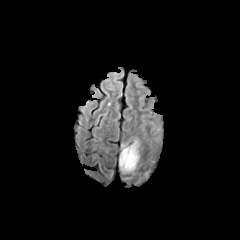
FLAIR magnetic resonance.
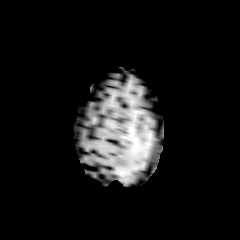
T1-weighted MRI.
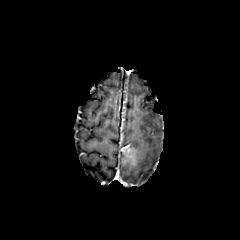
Post-contrast T1-weighted MR.
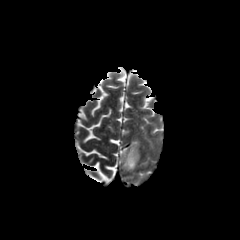
Same slice, T2-weighted MRI.
240x240 px; Axial view
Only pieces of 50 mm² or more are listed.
The 2 largest peritumoral edema regions appear at box=[119, 152, 131, 172]; box=[129, 140, 139, 160]. The enhancing tumor is bounded by box=[121, 145, 138, 170].